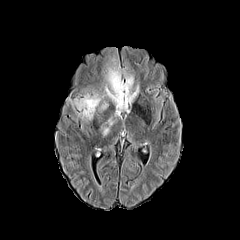
FLAIR MRI.
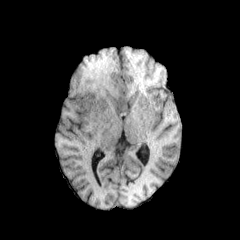
T1-weighted MR image.
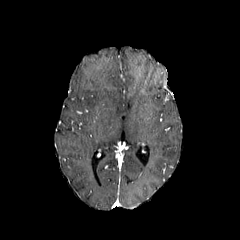
Post-contrast T1-weighted MRI.
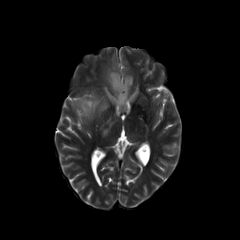
T2-weighted MRI of the same slice.
240x240 px
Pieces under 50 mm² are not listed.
<segmentation>
  <peritumoral_edema>l=105, t=69, r=138, b=115; l=75, t=95, r=100, b=119</peritumoral_edema>
</segmentation>